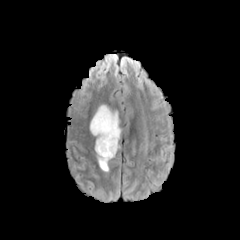
FLAIR magnetic resonance.
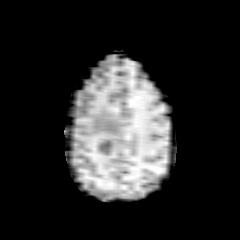
T1-weighted MRI.
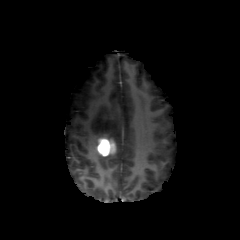
Post-contrast T1-weighted MR.
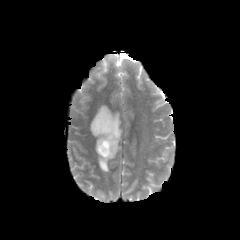
Same slice, T2-weighted magnetic resonance.
Image size 240x240
peritumoral edema: bounding box {"x1": 90, "y1": 105, "x2": 121, "y2": 171}
enhancing tumor: bounding box {"x1": 97, "y1": 137, "x2": 115, "y2": 156}